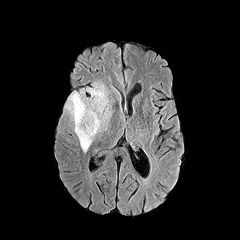
FLAIR MR.
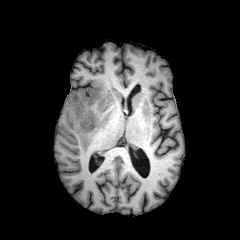
T1-weighted magnetic resonance.
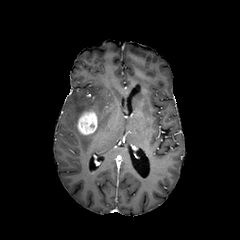
Post-contrast T1-weighted MRI.
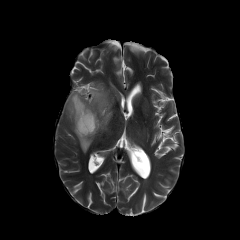
T2-weighted MR image.
Axial plane
Annotated regions:
• enhancing tumor: l=77, t=110, r=97, b=134
• peritumoral edema: l=65, t=83, r=111, b=152